Head | Axial slice | Image width 240 mm, 1.00 mm slice spacing
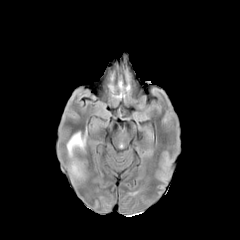
FLAIR MRI.
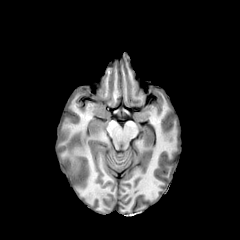
Same slice, T1-weighted MR image.
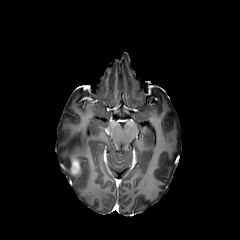
Same slice, post-contrast T1-weighted MRI.
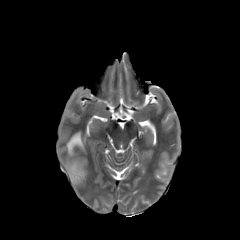
T2-weighted MRI.
The enhancing tumor is located at (x1=70, y1=157, x2=81, y2=175). 2 peritumoral edema regions appear at (x1=68, y1=162, x2=84, y2=179), (x1=66, y1=132, x2=86, y2=158).